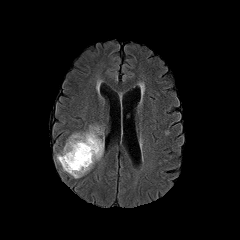
FLAIR MRI.
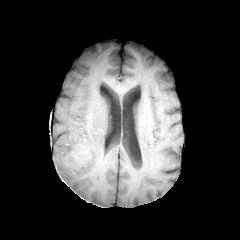
Same slice, T1-weighted MR image.
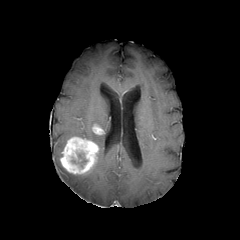
Same slice, post-contrast T1-weighted magnetic resonance.
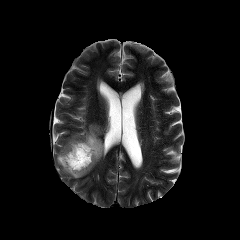
T2-weighted MR image.
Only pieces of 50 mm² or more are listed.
2 enhancing tumor regions appear at 92 125 103 134, 60 137 98 174. The 3 largest peritumoral edema regions are located at 56 150 62 165, 62 166 89 178, 69 125 104 161. The necrotic tumor core is bounded by 71 153 87 166.